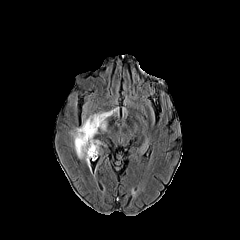
FLAIR magnetic resonance.
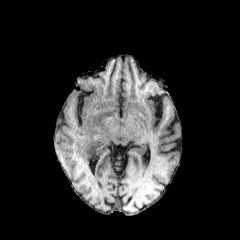
T1-weighted MRI.
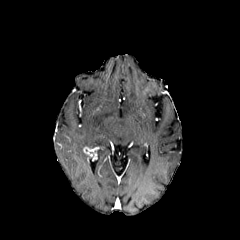
Post-contrast T1-weighted MR of the same slice.
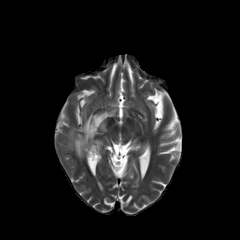
T2-weighted MRI.
Axial slice
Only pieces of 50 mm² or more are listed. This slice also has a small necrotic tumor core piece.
Segmented structures:
• enhancing tumor: x1=83 y1=146 x2=98 y2=158
• peritumoral edema: x1=70 y1=112 x2=110 y2=162